Brain. Axial view. 240x240. Slice index 89.
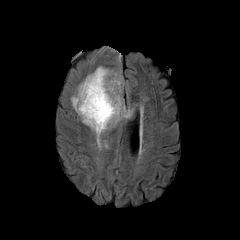
FLAIR MR image.
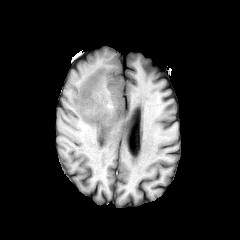
Same slice, T1-weighted MR.
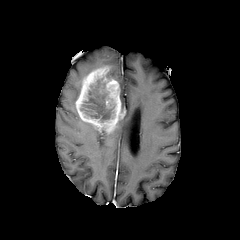
Post-contrast T1-weighted MR.
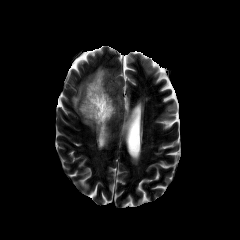
Same slice, T2-weighted MR.
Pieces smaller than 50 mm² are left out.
<segmentation>
  <necrotic_tumor_core>x1=81 y1=79 x2=113 y2=122</necrotic_tumor_core>
  <peritumoral_edema>x1=82 y1=121 x2=101 y2=135, x1=71 y1=83 x2=81 y2=111, x1=124 y1=109 x2=131 y2=118, x1=110 y1=70 x2=121 y2=87</peritumoral_edema>
  <enhancing_tumor>x1=75 y1=66 x2=125 y2=134</enhancing_tumor>
</segmentation>